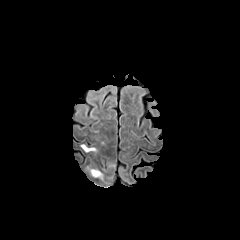
FLAIR MR image.
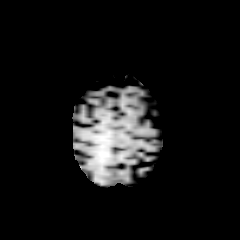
T1-weighted MR.
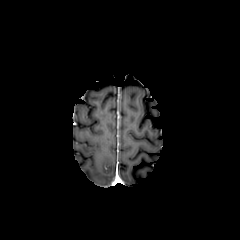
Post-contrast T1-weighted MRI of the same slice.
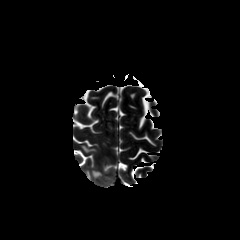
T2-weighted MR of the same slice.
Axial slice
{
  "peritumoral_edema": [
    "rect(87, 167, 103, 179)",
    "rect(81, 145, 95, 152)"
  ]
}